Head. Slice index 51.
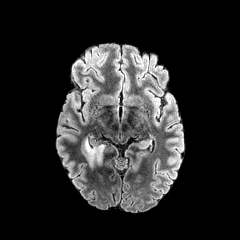
FLAIR MRI.
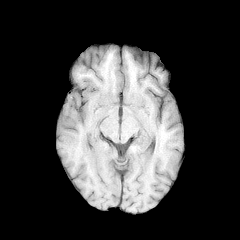
T1-weighted MRI.
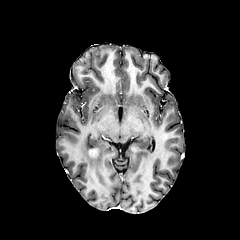
Same slice, post-contrast T1-weighted MRI.
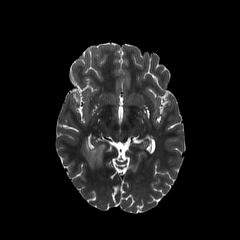
T2-weighted MRI.
peritumoral edema: bounding box left=81, top=138, right=104, bottom=169
enhancing tumor: bounding box left=88, top=148, right=99, bottom=158